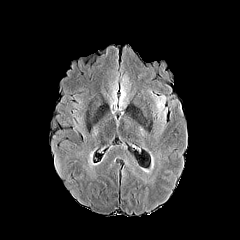
FLAIR MRI.
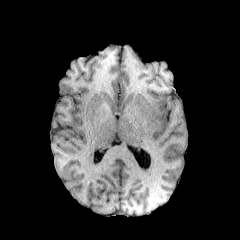
Same slice, T1-weighted MR image.
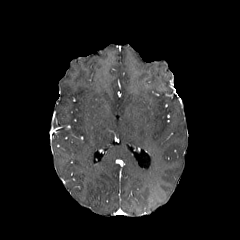
Post-contrast T1-weighted MRI of the same slice.
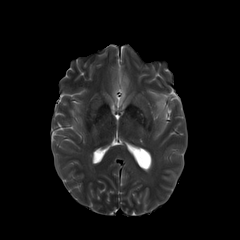
T2-weighted MR of the same slice.
Axial view
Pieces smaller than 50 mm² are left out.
peritumoral edema = 156:96:165:109